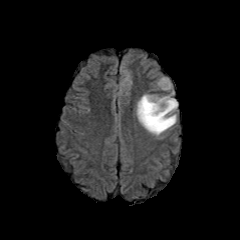
FLAIR MRI.
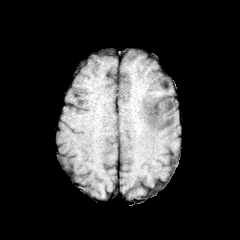
T1-weighted magnetic resonance.
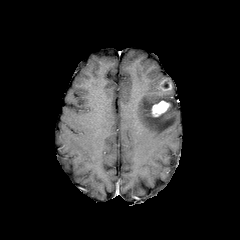
Post-contrast T1-weighted MR.
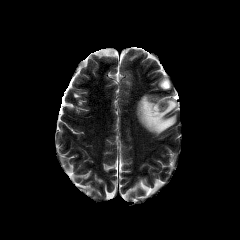
T2-weighted MR image of the same slice.
Brain. Image size 240x240. Axial slice.
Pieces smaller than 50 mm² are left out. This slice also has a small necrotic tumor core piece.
2 enhancing tumor regions appear at region(159, 78, 171, 90); region(151, 100, 170, 117). The largest peritumoral edema region lies within region(136, 94, 177, 135).